Brain. Slice 106/155. Axial view. Image width 240 mm, 1.00 mm slice spacing.
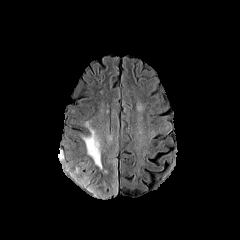
FLAIR MR.
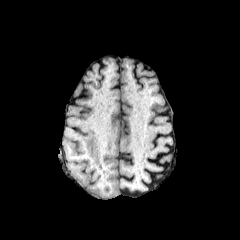
T1-weighted MR image.
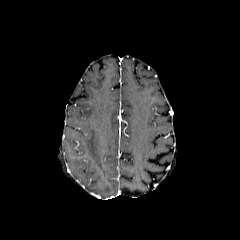
Post-contrast T1-weighted magnetic resonance of the same slice.
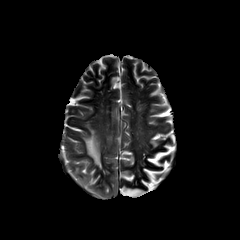
T2-weighted MR.
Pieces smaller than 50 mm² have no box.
Segmented structures:
* peritumoral edema: [x1=112, y1=181, x2=117, y2=193], [x1=83, y1=121, x2=101, y2=168], [x1=72, y1=169, x2=110, y2=197]